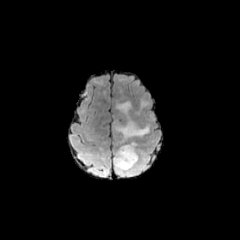
FLAIR MR image.
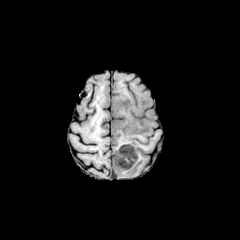
Same slice, T1-weighted magnetic resonance.
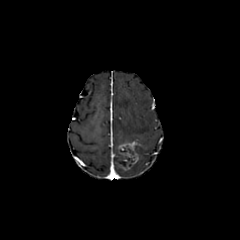
Post-contrast T1-weighted magnetic resonance.
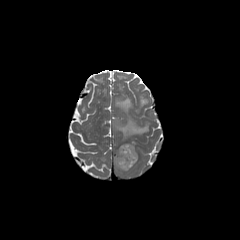
T2-weighted magnetic resonance of the same slice.
Axial slice, Head
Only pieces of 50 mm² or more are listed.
Segmented structures:
- peritumoral edema: bbox=[115, 100, 149, 143]; bbox=[140, 99, 148, 107]; bbox=[113, 150, 146, 176]
- necrotic tumor core: bbox=[120, 155, 133, 166]
- enhancing tumor: bbox=[116, 141, 140, 170]